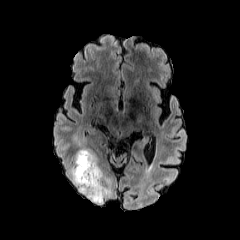
FLAIR MRI.
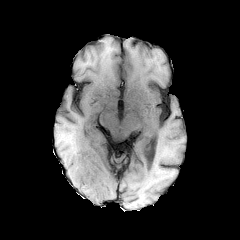
T1-weighted MRI of the same slice.
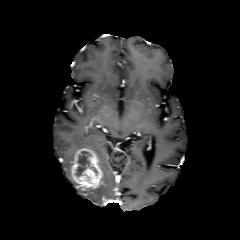
Post-contrast T1-weighted MR image of the same slice.
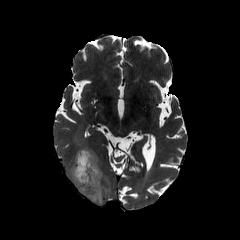
T2-weighted MR of the same slice.
Axial plane. Head.
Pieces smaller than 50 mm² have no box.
{"enhancing_tumor": [{"x1": 71, "y1": 148, "x2": 103, "y2": 189}], "peritumoral_edema": [{"x1": 68, "y1": 166, "x2": 77, "y2": 186}, {"x1": 78, "y1": 184, "x2": 109, "y2": 204}], "necrotic_tumor_core": [{"x1": 75, "y1": 151, "x2": 90, "y2": 176}]}